FLAIR MR.
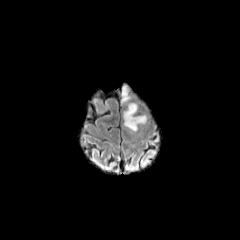
T1-weighted MR.
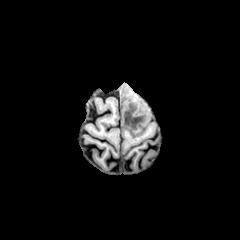
Post-contrast T1-weighted MRI.
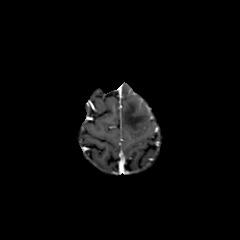
T2-weighted magnetic resonance.
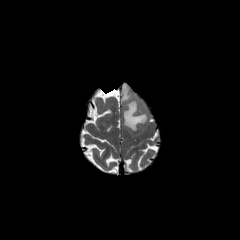
Brain; Axial view
Findings:
- peritumoral edema: [121, 85, 131, 102], [123, 102, 147, 131]